Slice 72 of 155
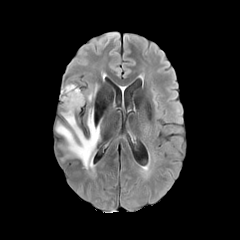
FLAIR MR.
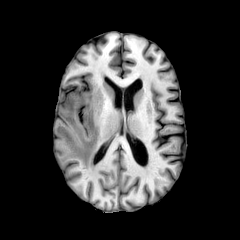
T1-weighted MR.
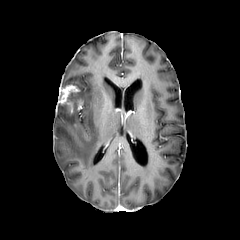
Same slice, post-contrast T1-weighted MR.
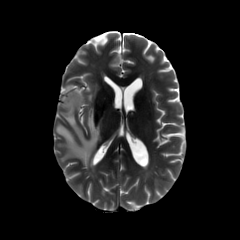
T2-weighted MR of the same slice.
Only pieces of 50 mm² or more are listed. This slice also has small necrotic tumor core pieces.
{"enhancing_tumor": ["bbox(60, 84, 79, 113)"], "peritumoral_edema": ["bbox(56, 92, 100, 173)", "bbox(87, 88, 96, 102)"]}